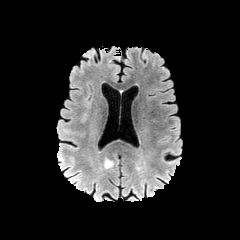
FLAIR magnetic resonance.
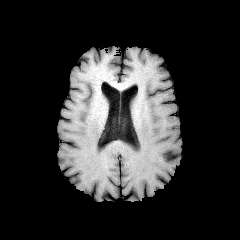
T1-weighted MR image of the same slice.
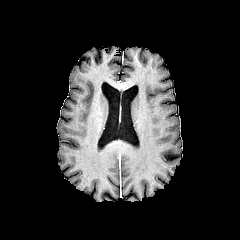
Same slice, post-contrast T1-weighted MR.
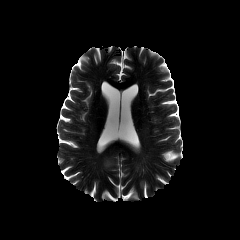
Same slice, T2-weighted MR.
Brain
peritumoral edema: 104, 158, 114, 168